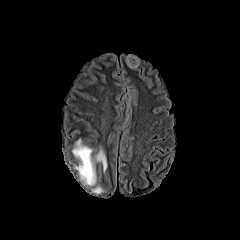
FLAIR MRI.
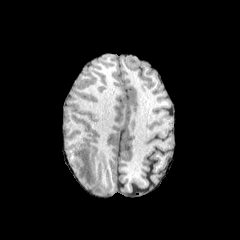
T1-weighted MR image.
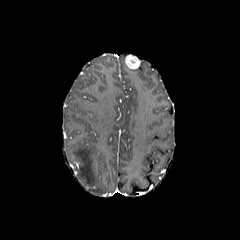
Post-contrast T1-weighted MR of the same slice.
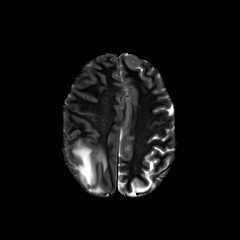
T2-weighted MR image of the same slice.
Brain
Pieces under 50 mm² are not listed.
The 2 largest peritumoral edema regions appear at bbox=[96, 150, 106, 170]; bbox=[72, 140, 95, 185].